FLAIR MR.
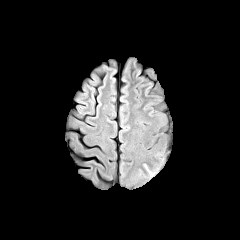
T1-weighted MR.
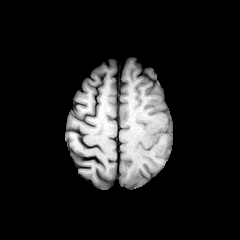
Post-contrast T1-weighted MR.
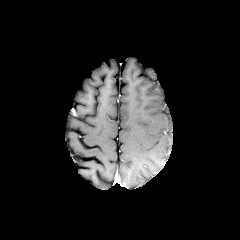
T2-weighted magnetic resonance.
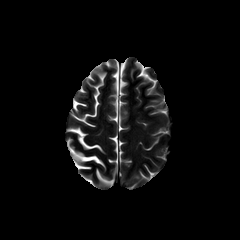
Brain
The peritumoral edema is at 139, 163, 158, 179.